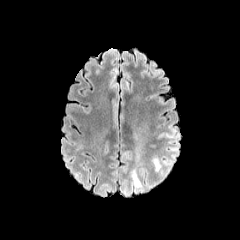
FLAIR MR image.
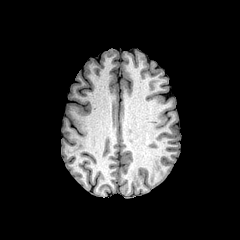
Same slice, T1-weighted MR image.
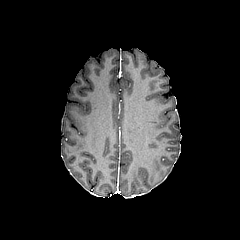
Post-contrast T1-weighted MR.
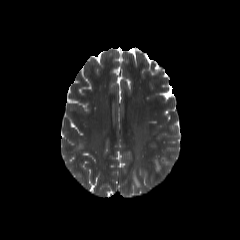
Same slice, T2-weighted MRI.
Image size 240x240, Axial slice, Head
Segmented structures:
- peritumoral edema: bbox(164, 155, 174, 171); bbox(131, 168, 141, 189); bbox(151, 156, 161, 171)